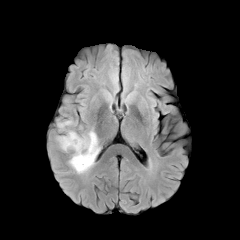
FLAIR MR.
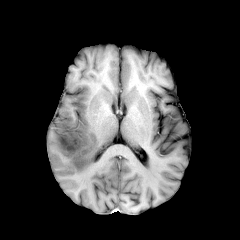
T1-weighted MR.
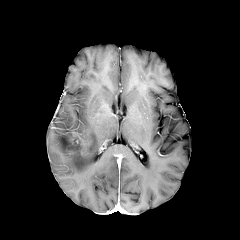
Post-contrast T1-weighted magnetic resonance of the same slice.
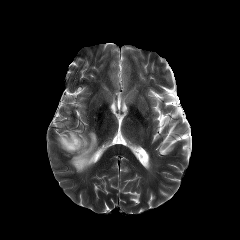
T2-weighted MRI.
Image size 240x240
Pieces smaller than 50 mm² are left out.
The peritumoral edema is at 57 120 100 173. The largest enhancing tumor region is located at 68 132 86 151.